FLAIR MR image.
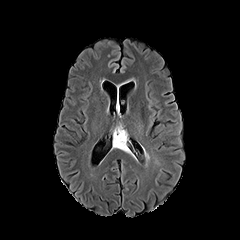
T1-weighted MR image.
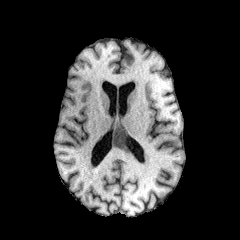
Post-contrast T1-weighted magnetic resonance.
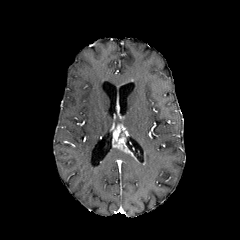
T2-weighted MR.
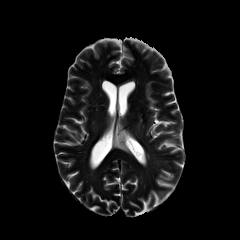
Brain
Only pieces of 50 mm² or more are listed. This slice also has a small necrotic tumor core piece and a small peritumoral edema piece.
enhancing tumor: bounding box box=[112, 124, 132, 154]